240x240 px | Axial slice
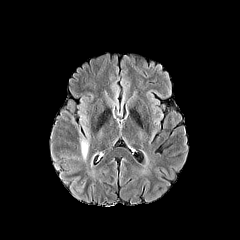
FLAIR magnetic resonance.
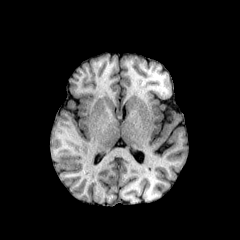
T1-weighted magnetic resonance of the same slice.
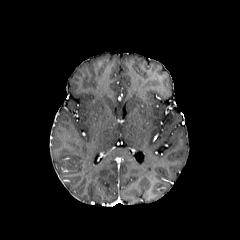
Post-contrast T1-weighted magnetic resonance.
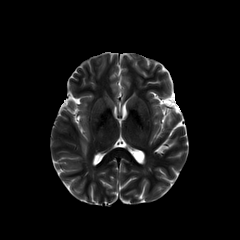
T2-weighted MR of the same slice.
The peritumoral edema is bounded by left=81, top=140, right=88, bottom=159.